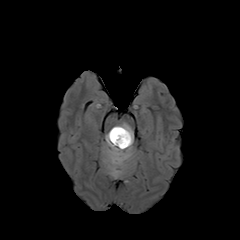
FLAIR MR.
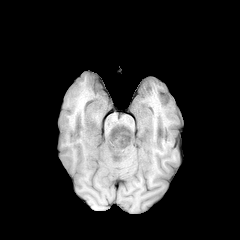
Same slice, T1-weighted MR.
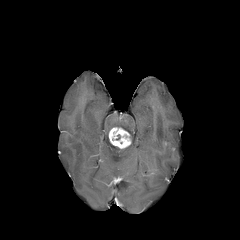
Same slice, post-contrast T1-weighted MRI.
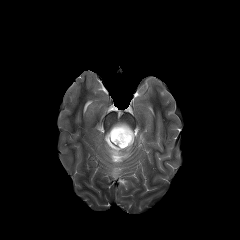
Same slice, T2-weighted MR.
Brain
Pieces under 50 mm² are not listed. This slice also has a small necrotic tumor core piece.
peritumoral edema — 102,122,133,177
enhancing tumor — 109,127,131,148